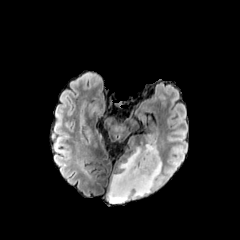
FLAIR magnetic resonance.
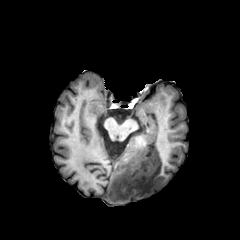
Same slice, T1-weighted MR.
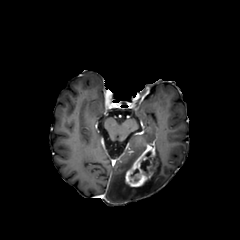
Same slice, post-contrast T1-weighted magnetic resonance.
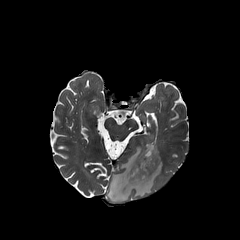
T2-weighted MR image.
Axial plane | 240x240 px | Head
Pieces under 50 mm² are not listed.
The enhancing tumor is bounded by l=125, t=142, r=157, b=187. The largest necrotic tumor core region is bounded by l=140, t=157, r=151, b=172. The peritumoral edema lies within l=107, t=134, r=163, b=203.